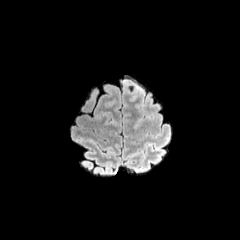
FLAIR MR.
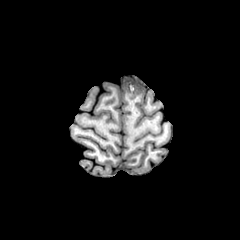
T1-weighted MRI of the same slice.
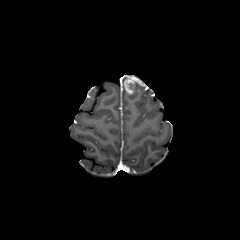
Post-contrast T1-weighted magnetic resonance.
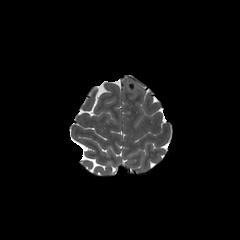
T2-weighted MR image.
Axial view
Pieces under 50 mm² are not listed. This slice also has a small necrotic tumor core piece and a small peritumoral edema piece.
enhancing tumor at 124:77:139:94